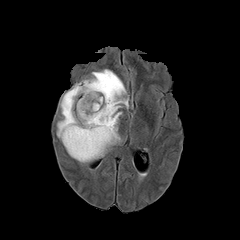
FLAIR MR image.
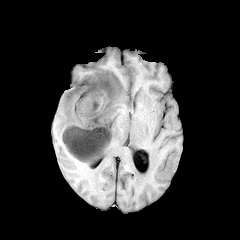
T1-weighted MR.
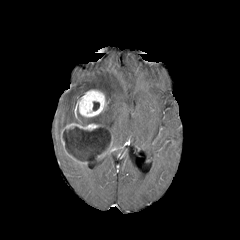
Post-contrast T1-weighted MRI of the same slice.
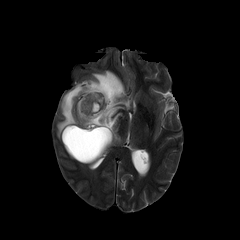
T2-weighted MR of the same slice.
Brain, 240x240 px, Axial plane
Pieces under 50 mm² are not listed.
enhancing tumor: bounding box <box>76,89,107,117</box>, <box>61,122,100,145</box>
peritumoral edema: bounding box <box>57,69,128,154</box>
necrotic tumor core: bounding box <box>62,125,112,161</box>, <box>93,101,99,110</box>